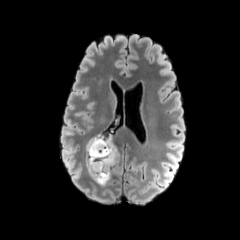
FLAIR magnetic resonance.
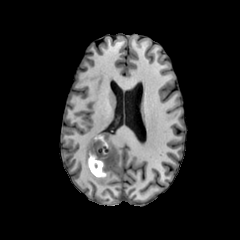
T1-weighted MR image of the same slice.
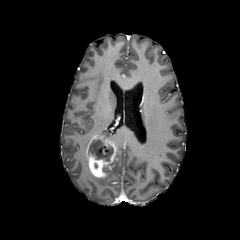
Post-contrast T1-weighted MRI.
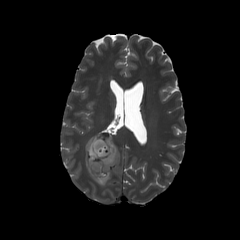
T2-weighted MRI of the same slice.
Head, Axial plane, Image size 240x240
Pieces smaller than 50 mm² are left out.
<segmentation>
  <enhancing_tumor><bbox>86, 134, 117, 177</bbox></enhancing_tumor>
  <necrotic_tumor_core><bbox>89, 138, 113, 171</bbox></necrotic_tumor_core>
  <peritumoral_edema><bbox>84, 142, 111, 186</bbox>, <bbox>112, 141, 119, 167</bbox></peritumoral_edema>
</segmentation>